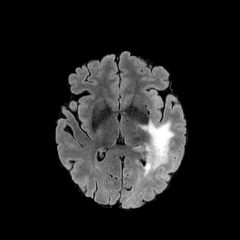
FLAIR magnetic resonance.
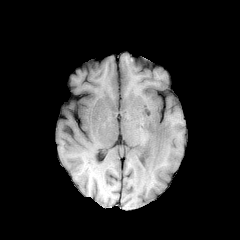
T1-weighted MRI of the same slice.
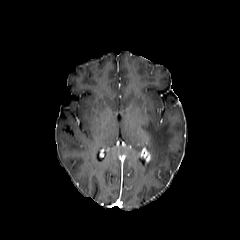
Same slice, post-contrast T1-weighted MRI.
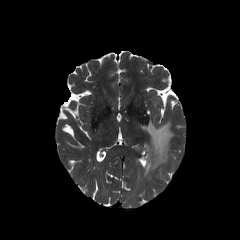
T2-weighted MR image.
Axial plane
Segmented structures:
* peritumoral edema: 133,119,178,193
* enhancing tumor: 142,147,151,162